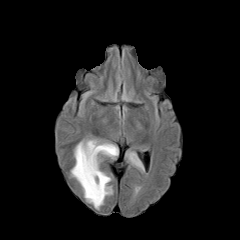
FLAIR magnetic resonance.
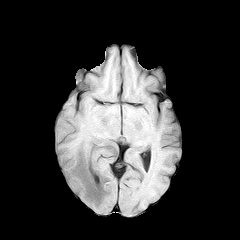
Same slice, T1-weighted magnetic resonance.
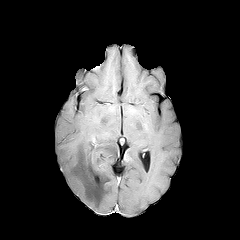
Post-contrast T1-weighted MR.
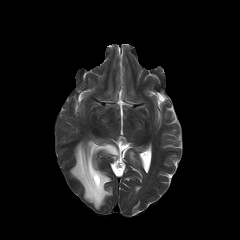
T2-weighted MR of the same slice.
Axial slice. Brain.
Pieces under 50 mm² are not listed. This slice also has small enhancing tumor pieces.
peritumoral edema: bbox(126, 152, 143, 169); bbox(71, 140, 118, 209)